FLAIR MR.
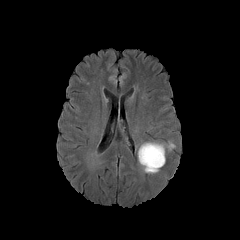
T1-weighted MR image.
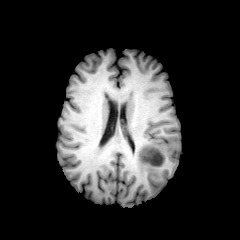
Post-contrast T1-weighted MR image.
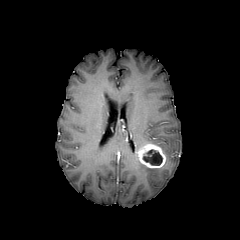
T2-weighted MR image.
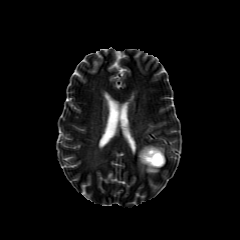
240x240 px.
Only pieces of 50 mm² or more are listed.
The 2 largest peritumoral edema regions are bounded by x1=139 y1=161 x2=159 y2=173, x1=141 y1=143 x2=164 y2=153. The necrotic tumor core is bounded by x1=143 y1=149 x2=162 y2=165. The enhancing tumor lies within x1=138 y1=144 x2=165 y2=168.